Axial slice, Slice 106 of 155
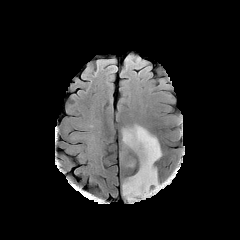
FLAIR magnetic resonance.
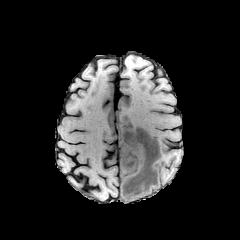
T1-weighted magnetic resonance.
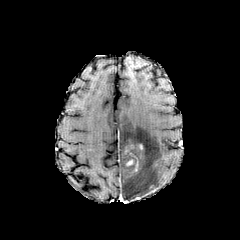
Post-contrast T1-weighted magnetic resonance.
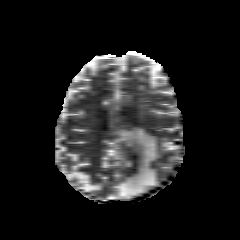
T2-weighted MRI.
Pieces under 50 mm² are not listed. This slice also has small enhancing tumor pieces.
{"peritumoral_edema": ["box(121, 125, 161, 200)"]}